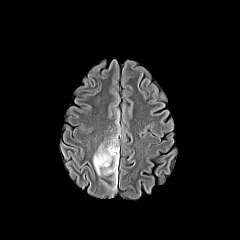
FLAIR MR image.
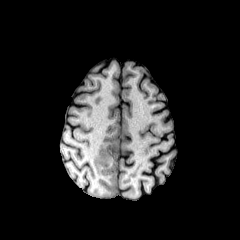
T1-weighted MR.
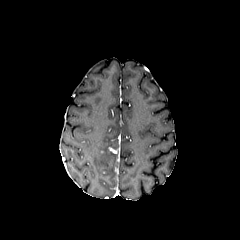
Same slice, post-contrast T1-weighted magnetic resonance.
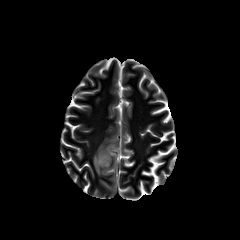
T2-weighted MRI.
240x240, Axial slice
<segmentation>
  <peritumoral_edema>l=93, t=126, r=119, b=183</peritumoral_edema>
</segmentation>